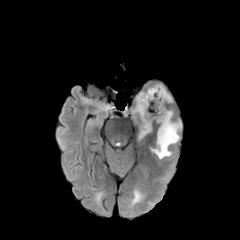
FLAIR magnetic resonance.
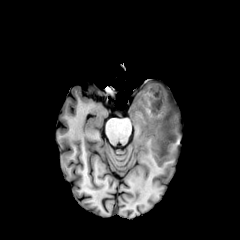
T1-weighted MRI.
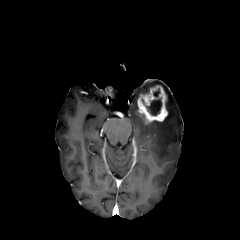
Same slice, post-contrast T1-weighted magnetic resonance.
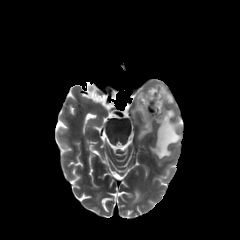
Same slice, T2-weighted MRI.
Head
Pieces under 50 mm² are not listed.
enhancing tumor: (137,85,167,124)
necrotic tumor core: (145,98,161,115)
peritumoral edema: (163,87,172,102), (138,114,151,139), (151,110,180,158)